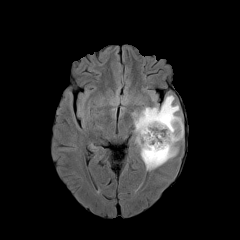
FLAIR MR.
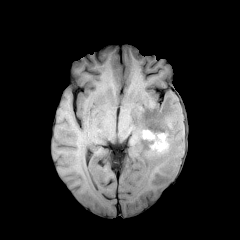
Same slice, T1-weighted MR image.
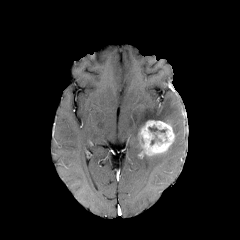
Post-contrast T1-weighted MR image.
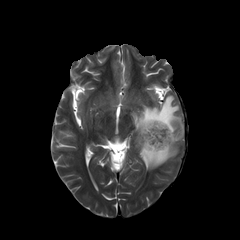
Same slice, T2-weighted MR image.
Axial view
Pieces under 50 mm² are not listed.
necrotic tumor core = (148, 127, 166, 145)
enhancing tumor = (140, 120, 174, 155)
peritumoral edema = (132, 95, 183, 170)